FLAIR magnetic resonance.
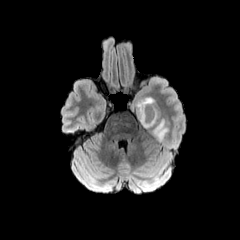
T1-weighted MR.
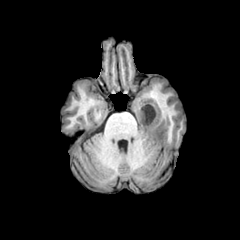
Post-contrast T1-weighted MR.
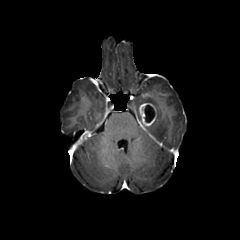
T2-weighted MR image.
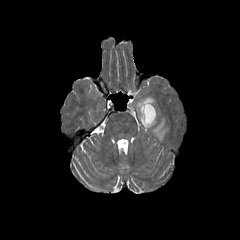
Head. Axial view.
Findings:
* peritumoral edema: box(135, 96, 155, 120); box(145, 107, 168, 142)
* enhancing tumor: box(139, 102, 156, 127)
* necrotic tumor core: box(144, 105, 155, 122)